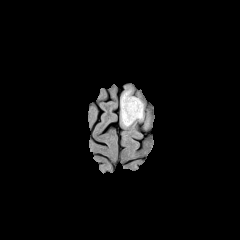
FLAIR magnetic resonance.
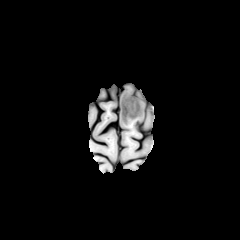
T1-weighted MR image of the same slice.
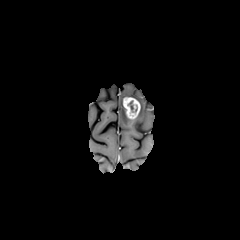
Same slice, post-contrast T1-weighted magnetic resonance.
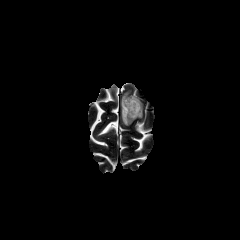
T2-weighted MR.
Axial view | Image size 240x240
necrotic_tumor_core:
  - bbox(128, 101, 137, 112)
enhancing_tumor:
  - bbox(123, 97, 140, 119)
peritumoral_edema:
  - bbox(120, 89, 143, 126)